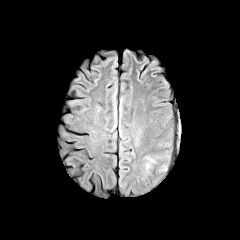
FLAIR MRI.
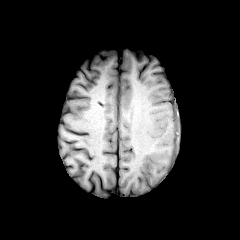
T1-weighted MR image.
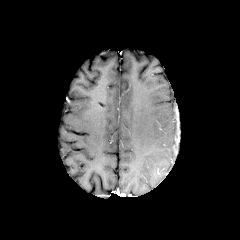
Post-contrast T1-weighted magnetic resonance.
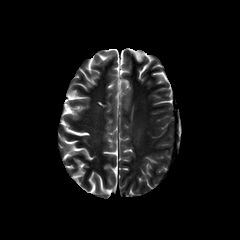
T2-weighted MR image of the same slice.
Head.
peritumoral edema at (155, 159, 170, 174), (143, 153, 162, 172)